FLAIR MR.
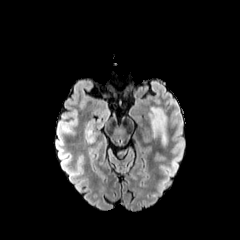
T1-weighted MR image.
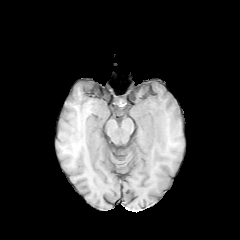
Post-contrast T1-weighted MR.
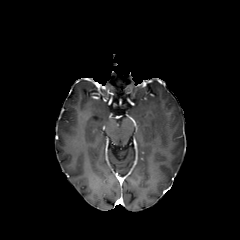
T2-weighted MRI.
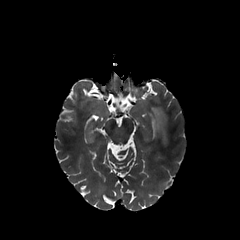
Axial plane
peritumoral edema = 148,105,166,144